FLAIR MR image.
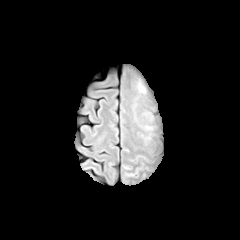
T1-weighted MR.
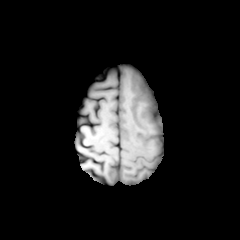
Post-contrast T1-weighted MR.
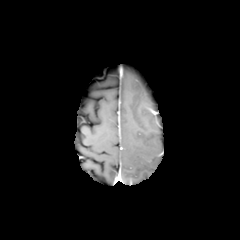
T2-weighted MR image.
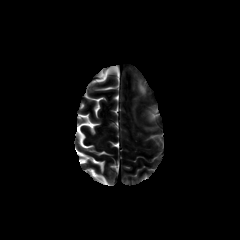
Axial plane | Image size 240x240
<segmentation>
  <peritumoral_edema>x1=138 y1=81 x2=145 y2=91</peritumoral_edema>
</segmentation>